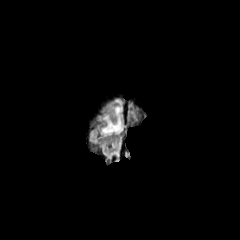
FLAIR MRI.
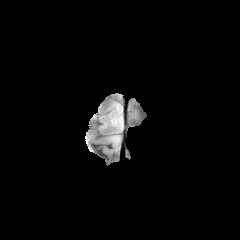
Same slice, T1-weighted MR image.
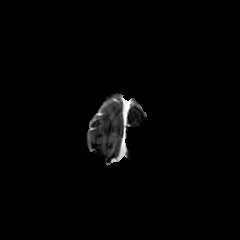
Post-contrast T1-weighted MR of the same slice.
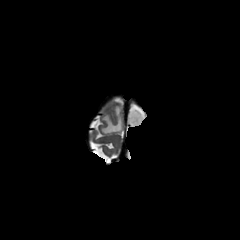
T2-weighted MR image of the same slice.
Head
peritumoral_edema:
  - {"x1": 101, "y1": 99, "x2": 122, "y2": 133}